FLAIR magnetic resonance.
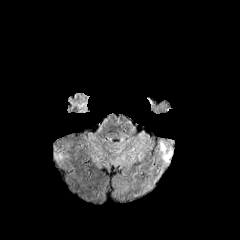
T1-weighted magnetic resonance.
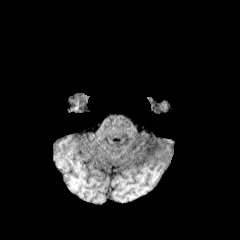
Post-contrast T1-weighted MR.
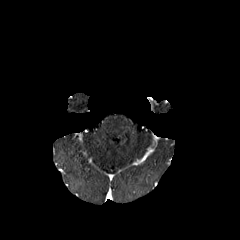
T2-weighted magnetic resonance.
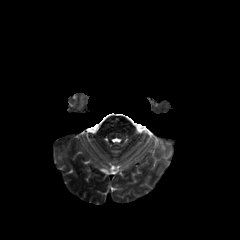
Head. Axial plane.
• peritumoral edema: 161,142,172,161